Axial slice | Head | Image width 240 mm
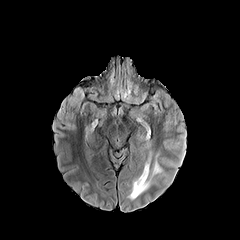
FLAIR MR image.
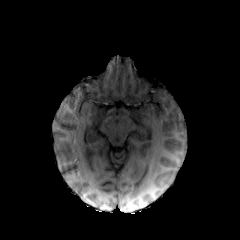
T1-weighted MRI.
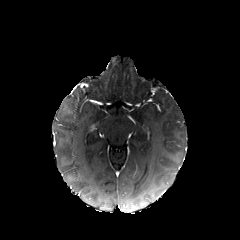
Post-contrast T1-weighted magnetic resonance of the same slice.
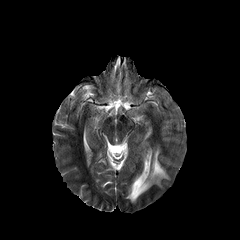
T2-weighted MRI.
peritumoral edema at [126, 151, 164, 201]